Image covers 240 mm x 240 mm | Head | Axial plane | Image size 240x240
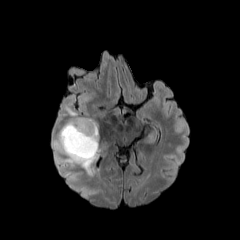
FLAIR MR.
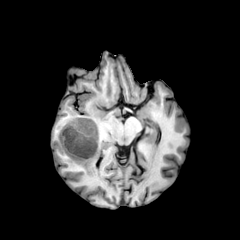
T1-weighted MR image.
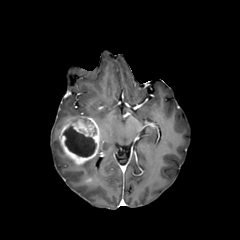
Same slice, post-contrast T1-weighted MR.
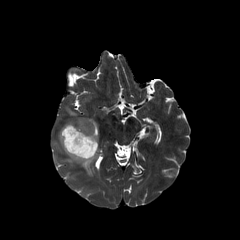
T2-weighted MR of the same slice.
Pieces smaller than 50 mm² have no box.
peritumoral edema = [53,134,64,154], [80,155,97,174], [65,106,80,117]
enhancing tumor = [58,116,100,165]
necrotic tumor core = [63,126,96,157]